FLAIR MR image.
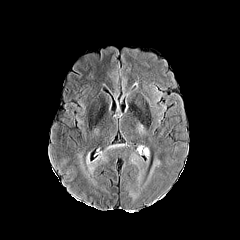
T1-weighted magnetic resonance.
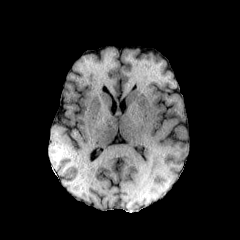
Post-contrast T1-weighted MR.
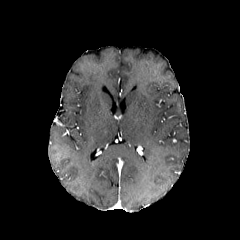
T2-weighted magnetic resonance.
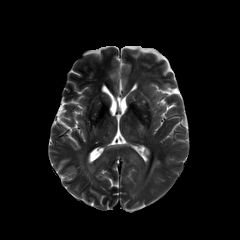
Axial plane. Brain.
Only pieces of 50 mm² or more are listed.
peritumoral edema = x1=150, y1=160, x2=160, y2=174; x1=131, y1=155, x2=138, y2=164; x1=143, y1=147, x2=149, y2=158